FLAIR MR image.
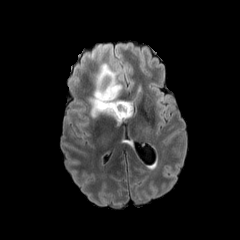
T1-weighted MRI.
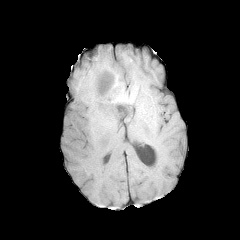
Post-contrast T1-weighted MR image.
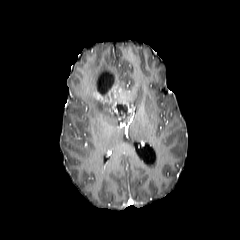
T2-weighted MRI.
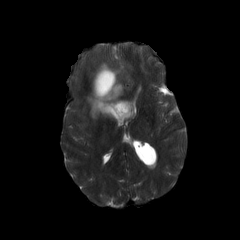
Head
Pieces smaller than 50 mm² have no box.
The largest peritumoral edema region lies within (left=89, top=63, right=125, bottom=122). 2 enhancing tumor regions are bounded by (left=110, top=101, right=132, bottom=120), (left=95, top=78, right=120, bottom=102). 2 necrotic tumor core regions are located at (left=97, top=72, right=113, bottom=93), (left=116, top=104, right=126, bottom=114).